Brain
FLAIR MR image.
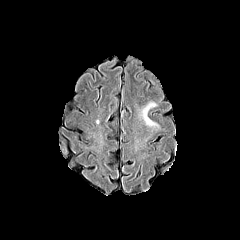
T1-weighted MR image.
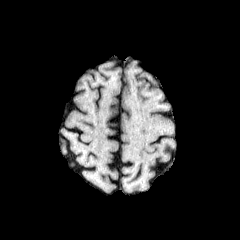
Post-contrast T1-weighted MRI.
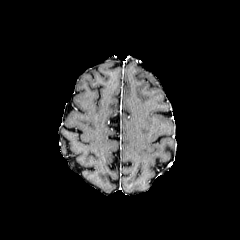
T2-weighted MRI.
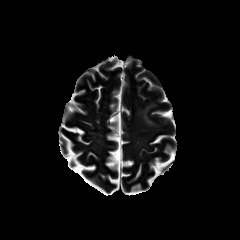
<segmentation>
  <peritumoral_edema>(142,103,155,125)</peritumoral_edema>
</segmentation>